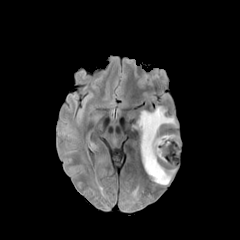
FLAIR MR image.
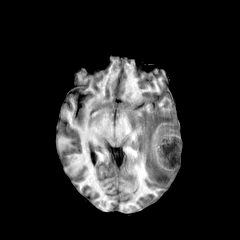
Same slice, T1-weighted magnetic resonance.
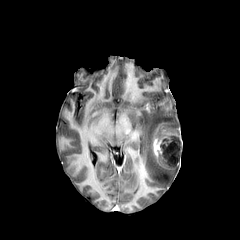
Same slice, post-contrast T1-weighted MR image.
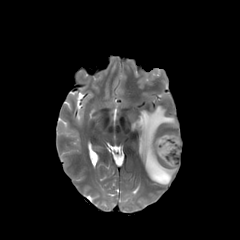
T2-weighted MR image.
Axial view, Head
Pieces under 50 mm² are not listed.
The largest enhancing tumor region is located at <box>153,132,180,169</box>. The peritumoral edema lies within <box>133,106,178,186</box>. The necrotic tumor core is located at <box>159,136,181,166</box>.